FLAIR magnetic resonance.
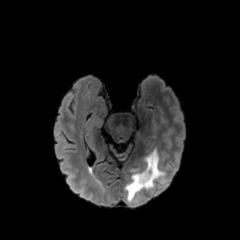
T1-weighted MR image.
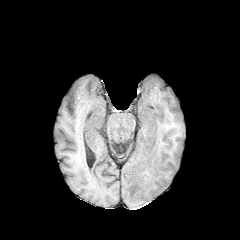
Post-contrast T1-weighted MRI.
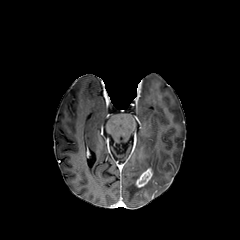
T2-weighted MR image.
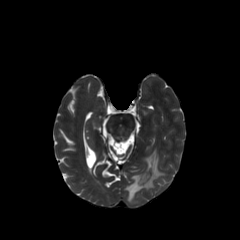
Head | 240x240
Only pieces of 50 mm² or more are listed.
Findings:
- enhancing tumor: x1=135 y1=168 x2=152 y2=187
- peritumoral edema: x1=125 y1=149 x2=164 y2=201